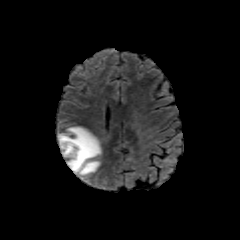
FLAIR MR.
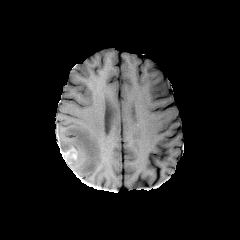
Same slice, T1-weighted MRI.
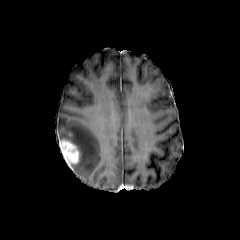
Same slice, post-contrast T1-weighted magnetic resonance.
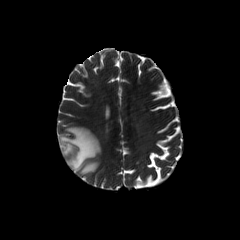
T2-weighted MRI.
Brain, Axial slice
The peritumoral edema is at (left=58, top=125, right=101, bottom=182). The enhancing tumor appears at (left=60, top=139, right=80, bottom=170).